Image width 240 mm | Slice 71/155 | Axial plane
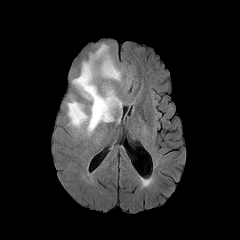
FLAIR magnetic resonance.
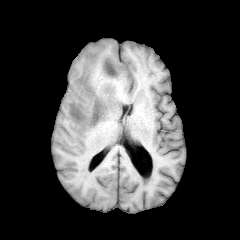
Same slice, T1-weighted MR.
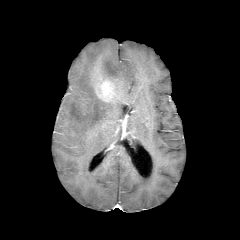
Post-contrast T1-weighted magnetic resonance of the same slice.
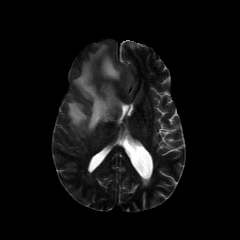
T2-weighted MRI.
peritumoral edema: box=[67, 44, 122, 135] | enhancing tumor: box=[96, 80, 114, 102]